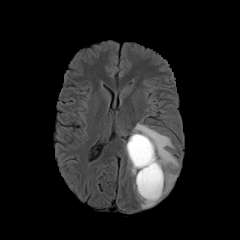
FLAIR MR image.
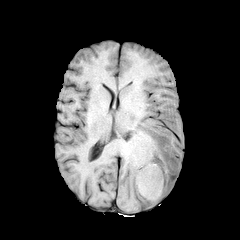
T1-weighted MR.
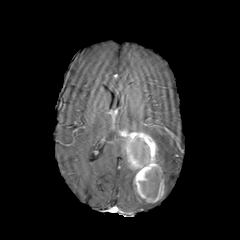
Post-contrast T1-weighted MR.
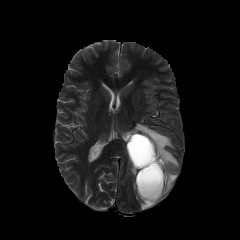
T2-weighted magnetic resonance of the same slice.
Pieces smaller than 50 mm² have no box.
Findings:
- necrotic tumor core: bbox(138, 168, 160, 198); bbox(130, 138, 149, 166)
- peritumoral edema: bbox(128, 162, 136, 179); bbox(133, 183, 155, 208); bbox(132, 122, 179, 196)
- enhancing tumor: bbox(126, 132, 164, 202)